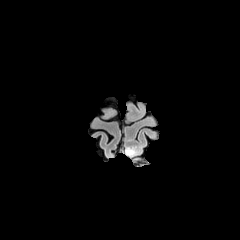
FLAIR MRI.
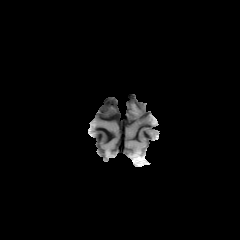
T1-weighted MRI.
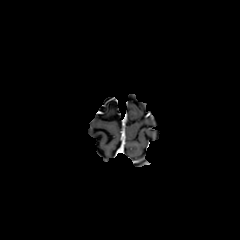
Post-contrast T1-weighted MR image of the same slice.
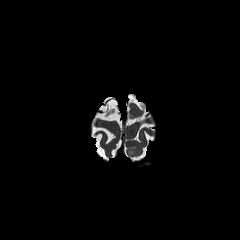
T2-weighted MR.
Head.
peritumoral edema = {"x1": 126, "y1": 148, "x2": 134, "y2": 155}